FLAIR MRI.
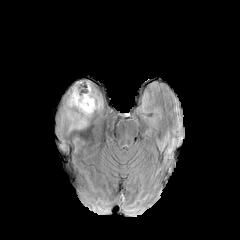
T1-weighted magnetic resonance.
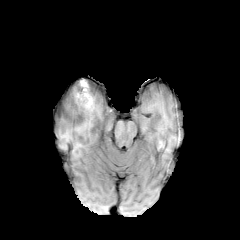
Post-contrast T1-weighted magnetic resonance.
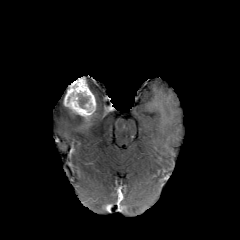
T2-weighted MR.
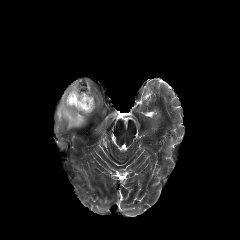
Head.
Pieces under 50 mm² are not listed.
Segmented structures:
* enhancing tumor: <bbox>63, 79, 96, 118</bbox>
* necrotic tumor core: <bbox>78, 94, 88, 108</bbox>
* peritumoral edema: <bbox>61, 104, 87, 129</bbox>, <bbox>93, 94, 101, 108</bbox>